FLAIR MR.
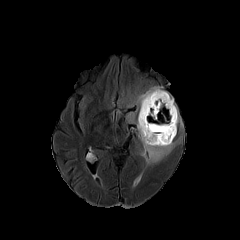
T1-weighted MR.
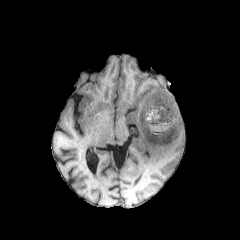
Post-contrast T1-weighted MR image.
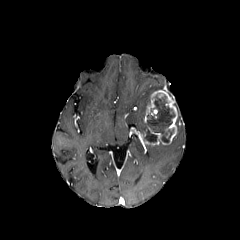
T2-weighted MR image.
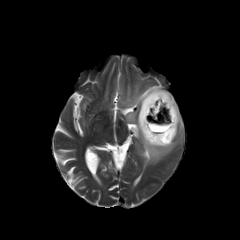
240x240. Head. Axial slice.
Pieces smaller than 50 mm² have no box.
peritumoral edema at 127,113,135,121; 129,86,162,134; 141,140,178,164
enhancing tumor at 139,90,177,146
necrotic tumor core at 147,95,174,142; 144,128,157,142